240x240 px, Head
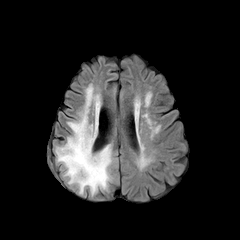
FLAIR MRI.
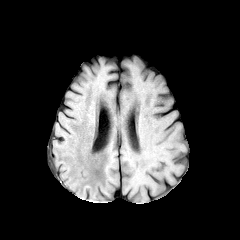
Same slice, T1-weighted MRI.
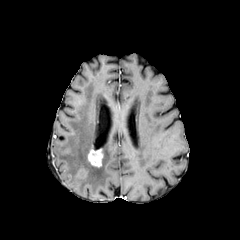
Post-contrast T1-weighted magnetic resonance.
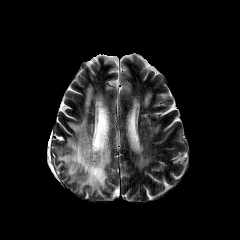
T2-weighted magnetic resonance of the same slice.
* peritumoral edema: (56, 84, 112, 193)
* enhancing tumor: (87, 145, 103, 167)